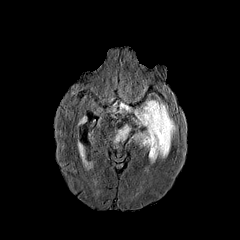
FLAIR MR image.
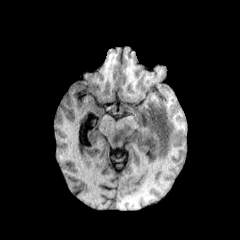
T1-weighted MRI.
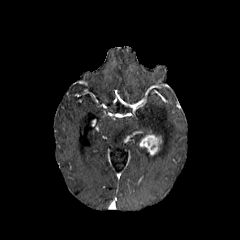
Post-contrast T1-weighted MR.
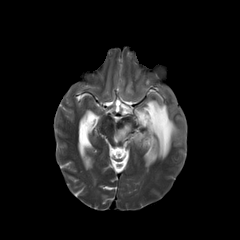
T2-weighted MR.
Image size 240x240 | Head
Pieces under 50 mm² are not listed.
<segmentation>
  <enhancing_tumor>rect(139, 132, 162, 155)</enhancing_tumor>
  <peritumoral_edema>rect(131, 100, 176, 162); rect(114, 124, 130, 142)</peritumoral_edema>
</segmentation>